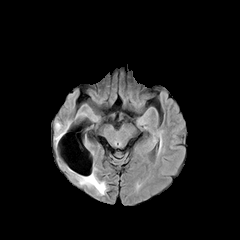
FLAIR magnetic resonance.
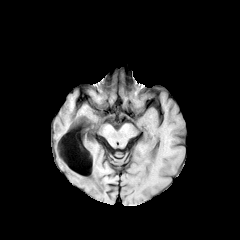
T1-weighted magnetic resonance.
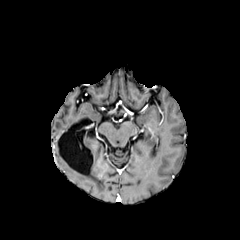
Post-contrast T1-weighted magnetic resonance.
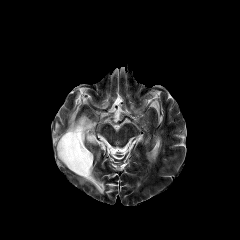
T2-weighted MRI.
Axial plane | Brain
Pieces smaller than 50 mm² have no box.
peritumoral_edema:
  - <bbox>79, 172, 105, 194</bbox>